Brain; 240x240; Slice 71 of 155
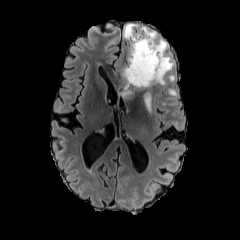
FLAIR magnetic resonance.
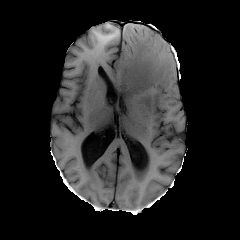
T1-weighted magnetic resonance.
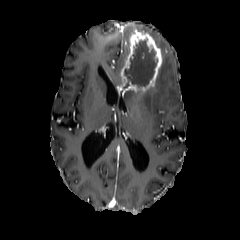
Post-contrast T1-weighted MR image.
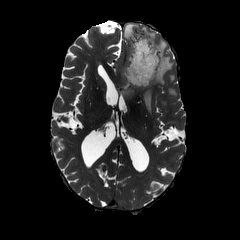
T2-weighted MR of the same slice.
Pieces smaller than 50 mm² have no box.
necrotic tumor core — bbox(124, 40, 156, 86)
peritumoral edema — bbox(122, 91, 134, 100); bbox(143, 88, 151, 113); bbox(123, 23, 175, 84); bbox(167, 88, 176, 96)
enhancing tumor — bbox(120, 28, 162, 92)